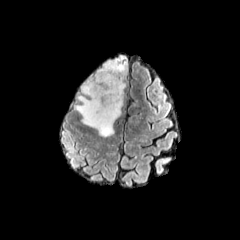
FLAIR MRI.
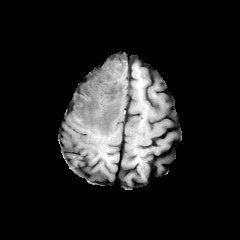
Same slice, T1-weighted MRI.
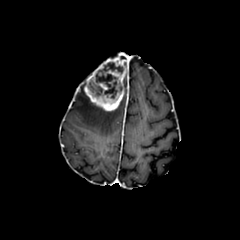
Post-contrast T1-weighted MR image of the same slice.
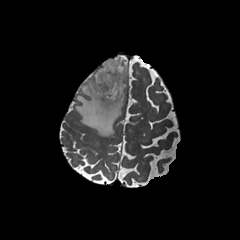
T2-weighted MRI of the same slice.
240x240, Brain, Axial slice
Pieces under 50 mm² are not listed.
enhancing tumor at bbox(83, 54, 128, 111)
necrotic tumor core at bbox(88, 80, 102, 96); bbox(95, 62, 123, 98)
peritumoral edema at bbox(74, 82, 124, 136)